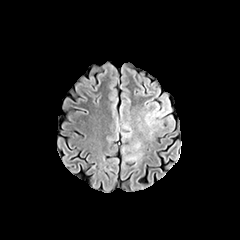
FLAIR MR.
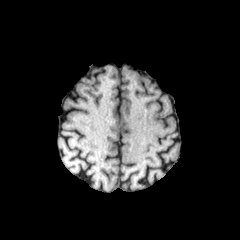
T1-weighted MR of the same slice.
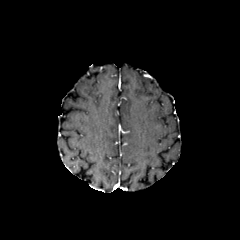
Post-contrast T1-weighted MRI.
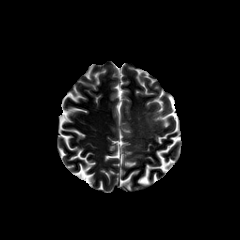
T2-weighted MRI of the same slice.
240x240 px. Axial view.
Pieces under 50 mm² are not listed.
peritumoral_edema:
  - {"x1": 123, "y1": 126, "x2": 131, "y2": 137}
  - {"x1": 145, "y1": 111, "x2": 158, "y2": 126}